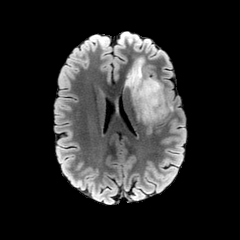
FLAIR MR.
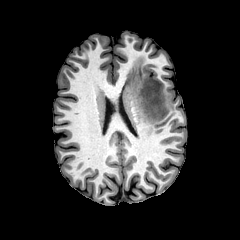
Same slice, T1-weighted MR image.
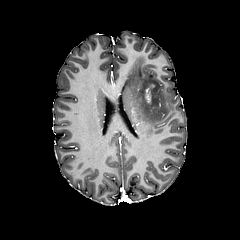
Post-contrast T1-weighted MR image.
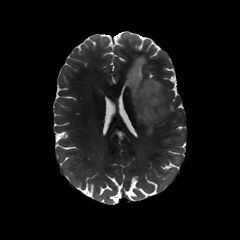
T2-weighted magnetic resonance.
240x240; Axial view; Brain
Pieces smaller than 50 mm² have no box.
Segmented structures:
* enhancing tumor: <box>145,85,154,102</box>
* peritumoral edema: <box>125,58,167,132</box>